Axial slice | 240x240 px | Brain | Slice 68 of 155
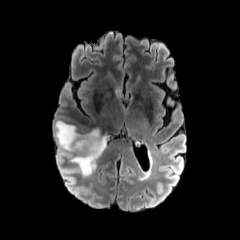
FLAIR MR image.
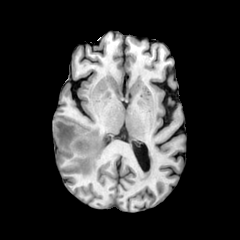
T1-weighted MR of the same slice.
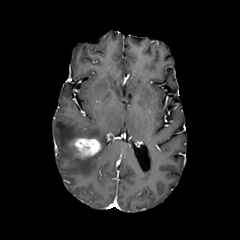
Post-contrast T1-weighted MR image of the same slice.
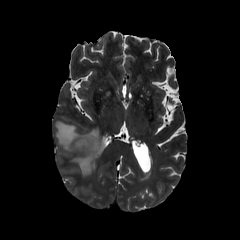
Same slice, T2-weighted MRI.
<segmentation>
  <enhancing_tumor>x1=73 y1=138 x2=101 y2=156</enhancing_tumor>
  <peritumoral_edema>x1=55 y1=120 x2=106 y2=175</peritumoral_edema>
</segmentation>